Image width 240 mm, 1.00 mm slice spacing, Axial plane, 240x240
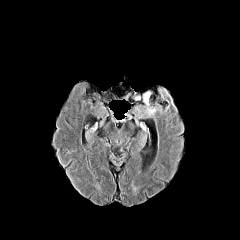
FLAIR magnetic resonance.
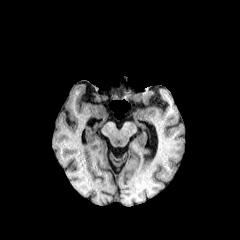
Same slice, T1-weighted magnetic resonance.
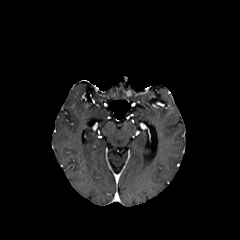
Post-contrast T1-weighted MRI.
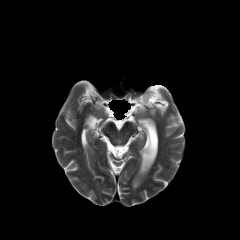
Same slice, T2-weighted magnetic resonance.
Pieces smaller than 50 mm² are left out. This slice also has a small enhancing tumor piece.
Findings:
• peritumoral edema: x1=143 y1=92 x2=150 y2=103